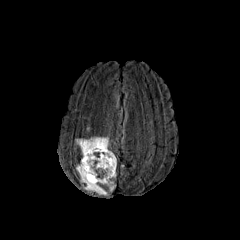
FLAIR MRI.
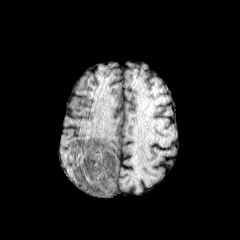
Same slice, T1-weighted MR image.
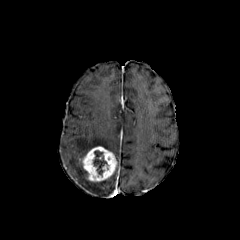
Post-contrast T1-weighted MR image.
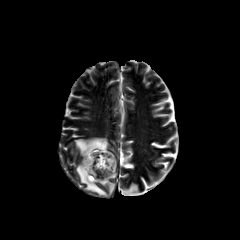
T2-weighted MR of the same slice.
Brain.
necrotic tumor core = rect(93, 151, 106, 174)
enhancing tumor = rect(82, 146, 116, 181)
peritumoral edema = rect(76, 160, 116, 195); rect(75, 137, 109, 157)